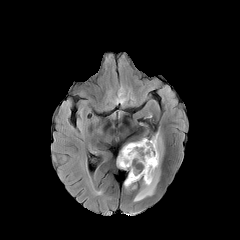
FLAIR MR image.
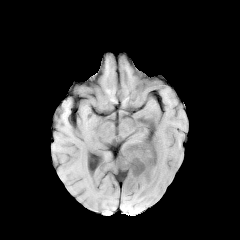
T1-weighted MR of the same slice.
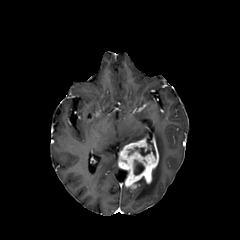
Same slice, post-contrast T1-weighted MRI.
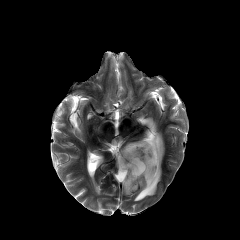
Same slice, T2-weighted MRI.
Head | 240x240 px | Axial plane
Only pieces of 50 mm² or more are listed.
The 3 largest necrotic tumor core regions appear at box(135, 147, 150, 156); box(147, 140, 155, 156); box(134, 160, 144, 174). The largest peritumoral edema region is located at box(133, 131, 163, 201). The enhancing tumor is located at box(118, 137, 158, 189).